Axial slice | Slice index 63
FLAIR MR.
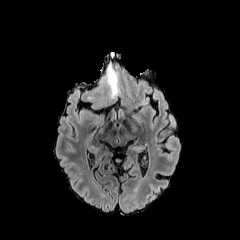
T1-weighted MRI.
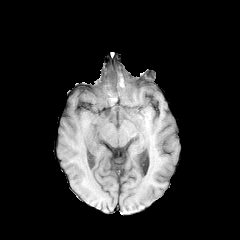
Post-contrast T1-weighted magnetic resonance.
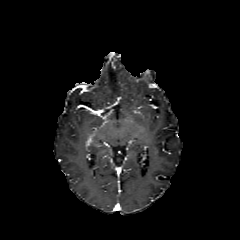
T2-weighted MRI.
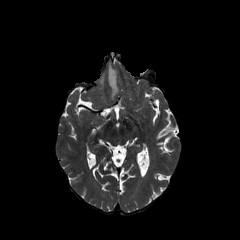
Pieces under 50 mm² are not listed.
peritumoral edema: left=107, top=64, right=119, bottom=98